Image size 240x240. Axial plane.
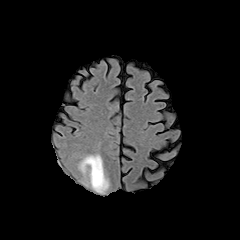
FLAIR magnetic resonance.
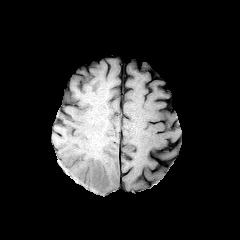
Same slice, T1-weighted MR image.
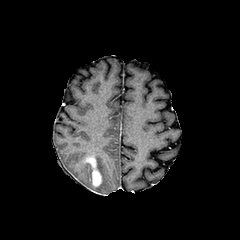
Post-contrast T1-weighted MR image.
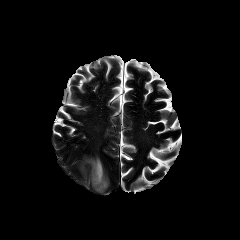
Same slice, T2-weighted MR image.
Segmented structures:
* enhancing tumor: box(84, 157, 101, 186)
* peritumoral edema: box(79, 155, 109, 192)